Brain.
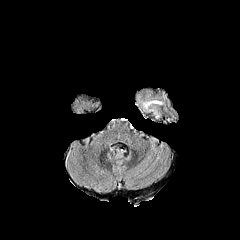
FLAIR MRI.
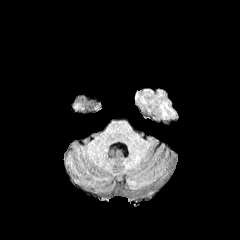
T1-weighted MRI.
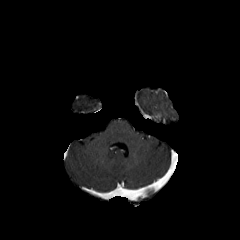
Same slice, post-contrast T1-weighted MR.
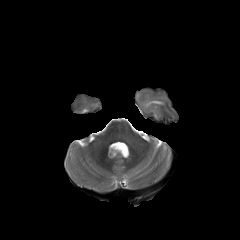
T2-weighted MR of the same slice.
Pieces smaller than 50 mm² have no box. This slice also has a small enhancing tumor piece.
The largest peritumoral edema region is located at x1=137, y1=90, x2=170, y2=121.